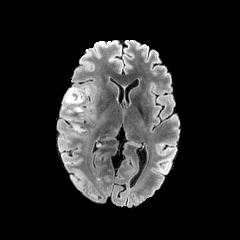
FLAIR MR.
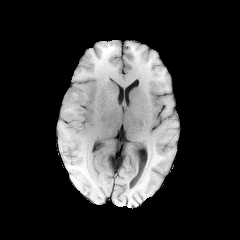
T1-weighted MRI.
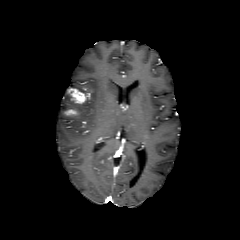
Same slice, post-contrast T1-weighted MR.
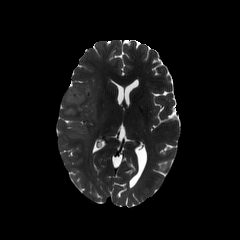
T2-weighted MR.
Axial slice.
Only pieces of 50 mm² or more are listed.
enhancing tumor: bounding box (left=68, top=89, right=86, bottom=103), (left=64, top=109, right=77, bottom=115)
peritumoral edema: bounding box (left=71, top=124, right=83, bottom=133), (left=70, top=87, right=89, bottom=96), (left=64, top=92, right=75, bottom=104)